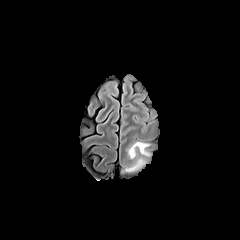
FLAIR MRI.
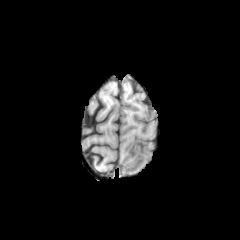
Same slice, T1-weighted MR.
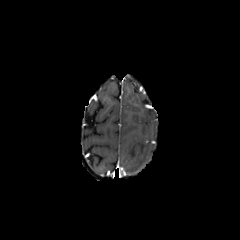
Same slice, post-contrast T1-weighted MR image.
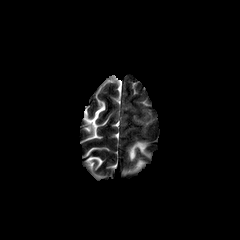
T2-weighted MR of the same slice.
peritumoral edema — x1=127, y1=141, x2=150, y2=159; x1=124, y1=158, x2=146, y2=173